Image covers 240 mm x 240 mm. 240x240. Slice 112/155. Brain. Axial plane.
FLAIR magnetic resonance.
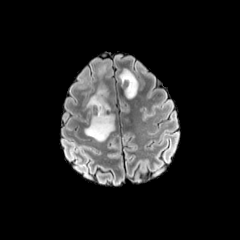
T1-weighted magnetic resonance.
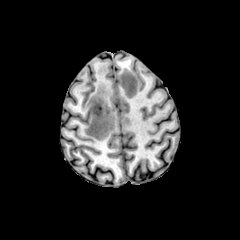
Post-contrast T1-weighted MR.
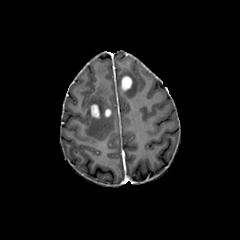
T2-weighted MRI.
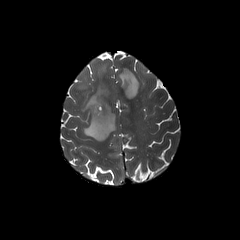
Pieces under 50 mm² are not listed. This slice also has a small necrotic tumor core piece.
enhancing tumor at region(104, 109, 111, 117); region(91, 104, 100, 118); region(121, 76, 132, 90)
peritumoral edema at region(84, 59, 114, 141); region(79, 73, 88, 89); region(119, 68, 138, 98)